Slice index 119
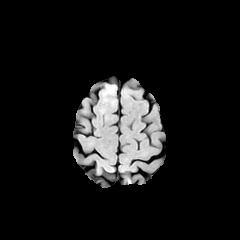
FLAIR MRI.
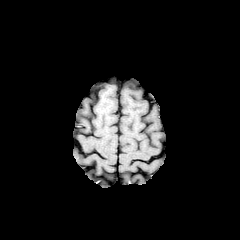
T1-weighted MR.
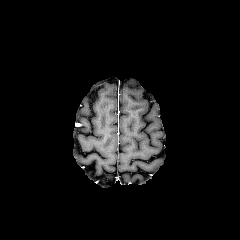
Post-contrast T1-weighted MR image.
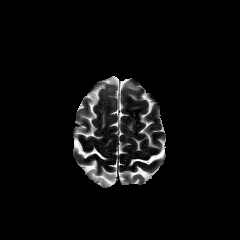
T2-weighted MR.
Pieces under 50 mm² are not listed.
<segmentation>
  <peritumoral_edema>(103, 85, 115, 95)</peritumoral_edema>
</segmentation>